FLAIR MR.
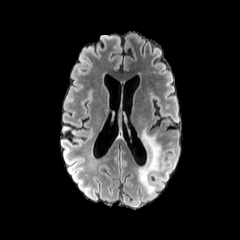
T1-weighted MRI.
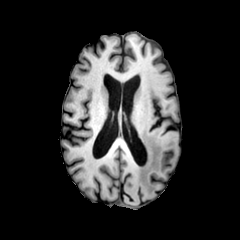
Post-contrast T1-weighted MR.
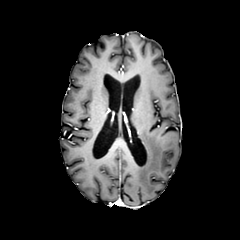
T2-weighted MR image.
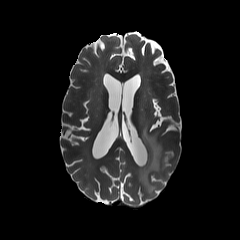
Brain.
peritumoral edema: left=137, top=128, right=161, bottom=192